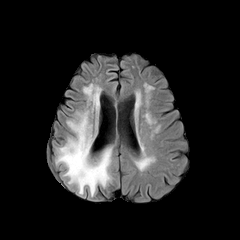
FLAIR magnetic resonance.
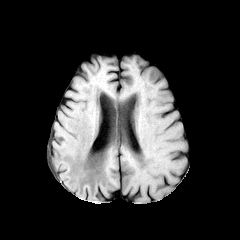
T1-weighted MR image.
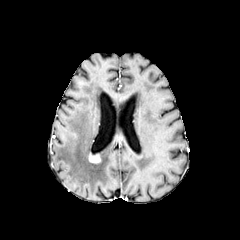
Same slice, post-contrast T1-weighted magnetic resonance.
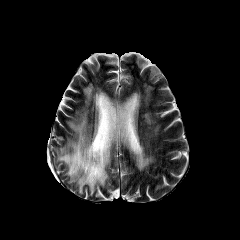
T2-weighted magnetic resonance of the same slice.
Axial view | 240x240 px | Head
{
  "enhancing_tumor": [
    "[88,152,100,163]"
  ],
  "peritumoral_edema": [
    "[56,83,112,195]"
  ]
}